FLAIR MR image.
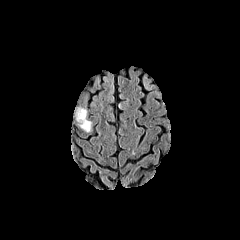
T1-weighted MR.
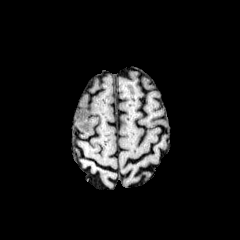
Post-contrast T1-weighted magnetic resonance.
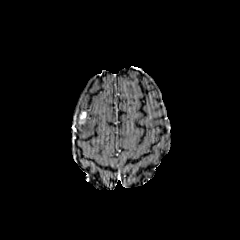
T2-weighted MR.
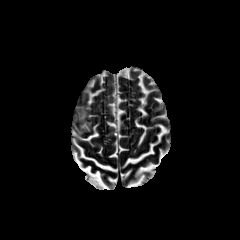
Brain
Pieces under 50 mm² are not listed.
The enhancing tumor is located at x1=79 y1=111 x2=86 y2=123. The largest peritumoral edema region appears at x1=79 y1=117 x2=91 y2=132.